Head
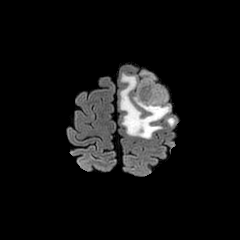
FLAIR MR.
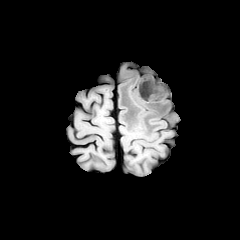
Same slice, T1-weighted MRI.
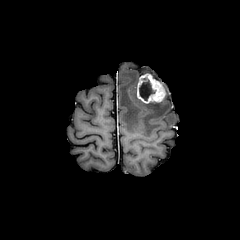
Post-contrast T1-weighted MR image.
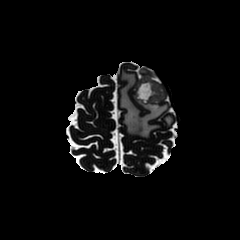
T2-weighted MR image.
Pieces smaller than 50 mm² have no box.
Segmented structures:
* peritumoral edema: (left=119, top=70, right=170, bottom=138), (left=165, top=116, right=174, bottom=125)
* enhancing tumor: (left=137, top=73, right=165, bottom=103)
* necrotic tumor core: (left=139, top=77, right=154, bottom=100)